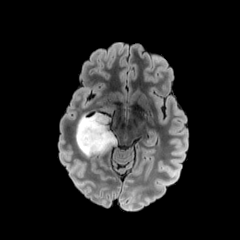
FLAIR magnetic resonance.
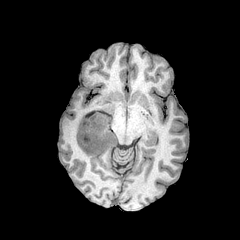
T1-weighted MR image.
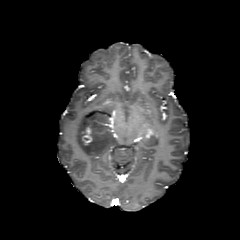
Post-contrast T1-weighted MRI of the same slice.
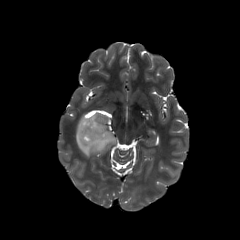
T2-weighted MRI.
Brain
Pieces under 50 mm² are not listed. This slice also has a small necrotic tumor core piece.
peritumoral edema: (76,106,117,157) | enhancing tumor: (82,126,92,145)